Axial view | Brain | Slice 86/155 | 240x240
FLAIR MRI.
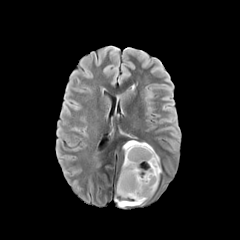
T1-weighted MRI.
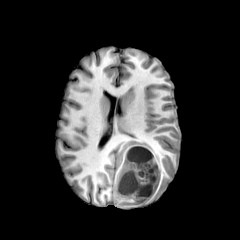
Post-contrast T1-weighted MR.
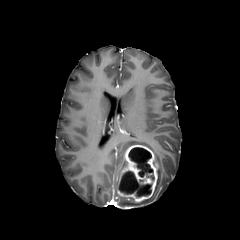
T2-weighted MRI.
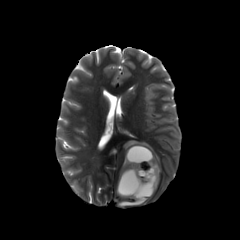
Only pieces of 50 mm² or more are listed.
necrotic tumor core: [128,147,154,180], [118,171,151,196] | peritumoral edema: [115,199,145,206], [123,140,161,190] | enhancing tumor: [117,145,158,202]